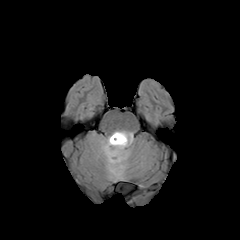
FLAIR magnetic resonance.
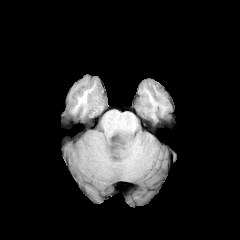
T1-weighted magnetic resonance.
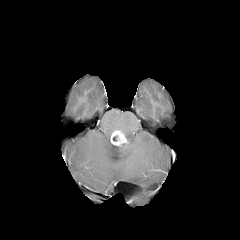
Post-contrast T1-weighted MRI.
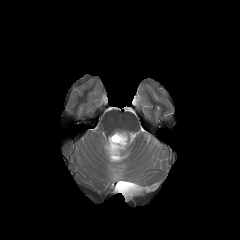
T2-weighted MR image of the same slice.
Axial plane | Brain
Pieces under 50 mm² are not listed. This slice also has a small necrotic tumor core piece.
<segmentation>
  <peritumoral_edema>100 130 133 180</peritumoral_edema>
  <enhancing_tumor>110 130 127 146</enhancing_tumor>
</segmentation>